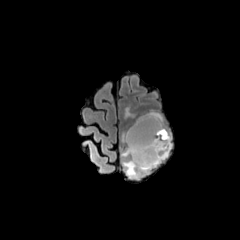
FLAIR MR.
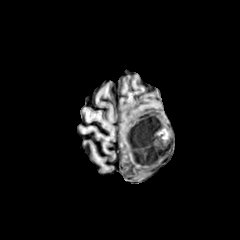
Same slice, T1-weighted MR image.
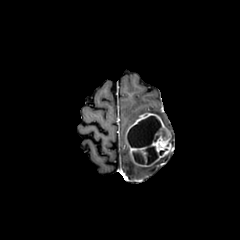
Post-contrast T1-weighted MRI.
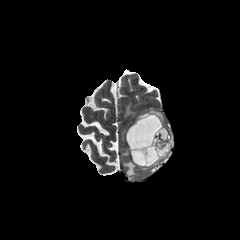
T2-weighted magnetic resonance.
Brain, 240x240 px
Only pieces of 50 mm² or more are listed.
The enhancing tumor lies within 125, 113, 172, 166. The largest necrotic tumor core region lies within 127, 116, 167, 164. The 3 largest peritumoral edema regions are bounded by 121, 147, 129, 157; 125, 106, 137, 118; 122, 155, 168, 178.